Head. 240x240. Image width 240 mm, 1.00 mm slice spacing. Slice index 33.
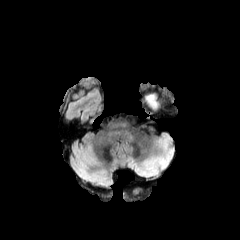
FLAIR MR image.
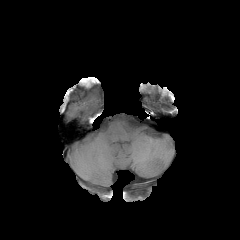
Same slice, T1-weighted magnetic resonance.
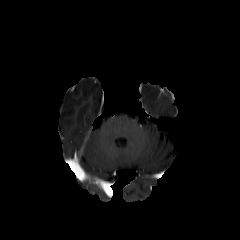
Post-contrast T1-weighted MR.
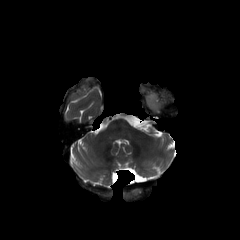
T2-weighted MRI.
peritumoral edema at (x1=146, y1=93, x2=160, y2=110)